Brain; Axial view; 240x240
FLAIR MR.
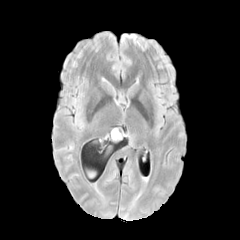
T1-weighted MR.
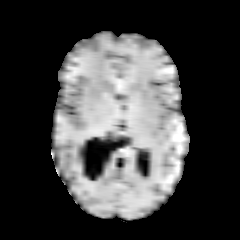
Post-contrast T1-weighted MRI.
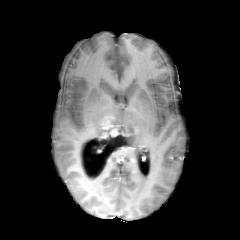
T2-weighted magnetic resonance.
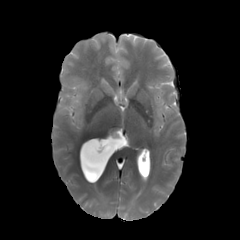
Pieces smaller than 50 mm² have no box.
Findings:
- enhancing tumor: x1=103, y1=127, x2=124, y2=137
- necrotic tumor core: x1=111, y1=134, x2=122, y2=142